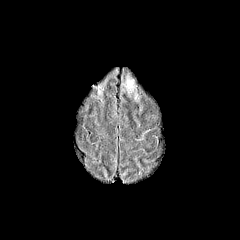
FLAIR magnetic resonance.
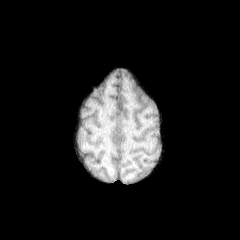
Same slice, T1-weighted MRI.
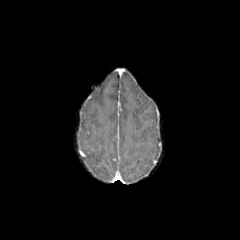
Same slice, post-contrast T1-weighted MRI.
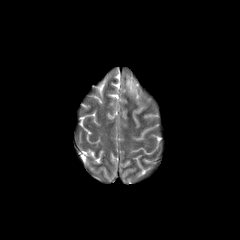
T2-weighted MR image.
Axial view.
{"peritumoral_edema": ["[124,72,138,99]"]}